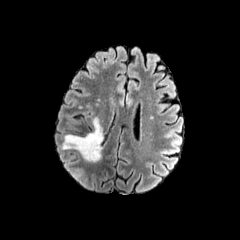
FLAIR magnetic resonance.
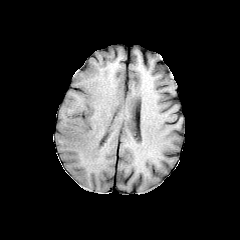
T1-weighted MR image.
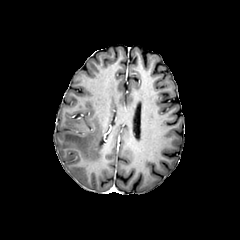
Post-contrast T1-weighted MR.
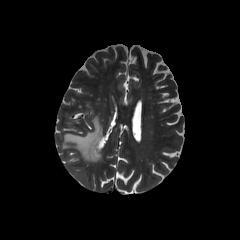
T2-weighted MRI of the same slice.
Axial slice | 240x240 | Brain
The peritumoral edema is located at (62,117,102,162).